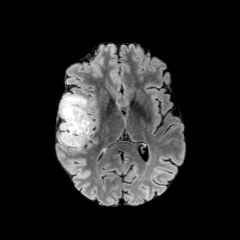
FLAIR MR.
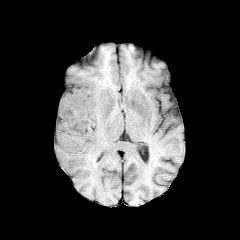
T1-weighted magnetic resonance.
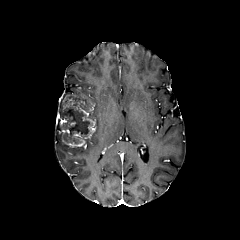
Post-contrast T1-weighted MRI.
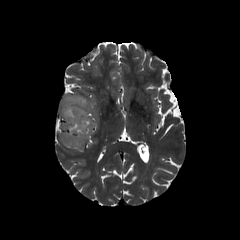
T2-weighted magnetic resonance.
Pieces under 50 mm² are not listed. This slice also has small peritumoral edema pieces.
The largest enhancing tumor region is at region(59, 95, 96, 147). The necrotic tumor core appears at region(63, 107, 90, 143).